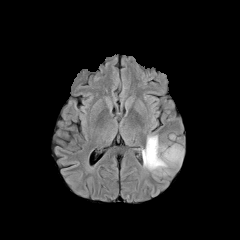
FLAIR MR.
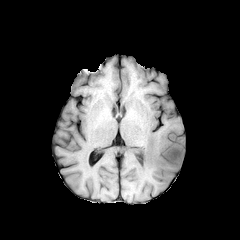
Same slice, T1-weighted MR image.
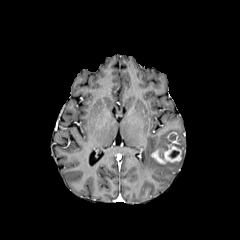
Post-contrast T1-weighted MRI.
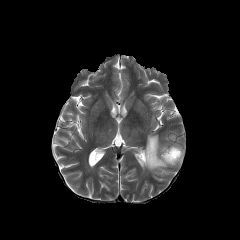
T2-weighted MR of the same slice.
Brain; Axial slice
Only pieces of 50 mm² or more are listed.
* necrotic tumor core: (170, 150, 179, 157)
* peritumoral edema: (142, 135, 181, 174)
* enhancing tumor: (151, 145, 181, 163)